FLAIR MR image.
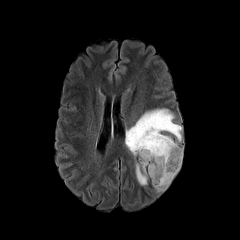
T1-weighted MR.
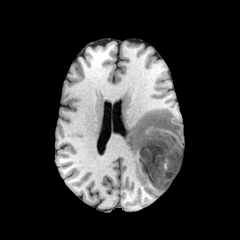
Post-contrast T1-weighted magnetic resonance.
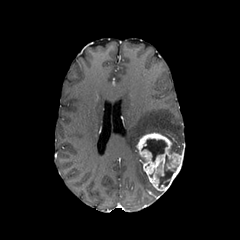
T2-weighted MRI.
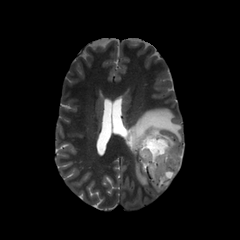
Axial view
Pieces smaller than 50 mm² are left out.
necrotic tumor core: 142,139,166,161; 158,155,173,187
peritumoral edema: 135,162,148,185; 164,135,182,153; 125,108,181,156
enhancing tumor: 136,132,183,191